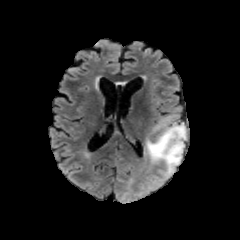
FLAIR MR.
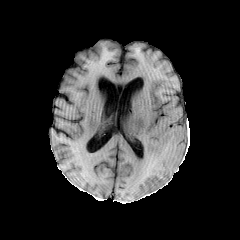
Same slice, T1-weighted MR.
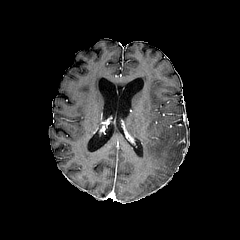
Same slice, post-contrast T1-weighted MR image.
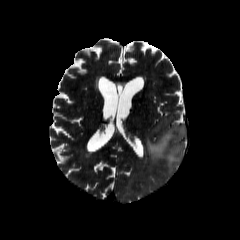
T2-weighted MR.
Axial view.
peritumoral edema at {"x1": 145, "y1": 116, "x2": 186, "y2": 173}